Brain, Image covers 240 mm x 240 mm, Axial slice
FLAIR MR image.
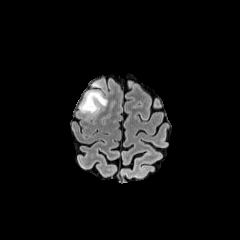
T1-weighted magnetic resonance.
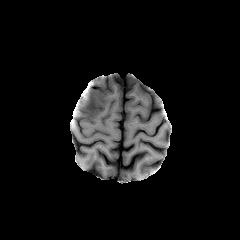
Post-contrast T1-weighted MR image.
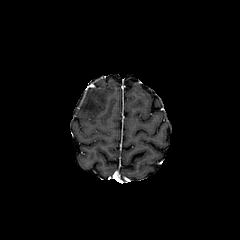
T2-weighted MRI.
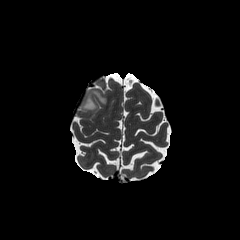
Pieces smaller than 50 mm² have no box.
peritumoral edema at [x1=79, y1=90, x2=107, y2=117]